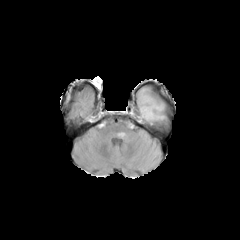
FLAIR magnetic resonance.
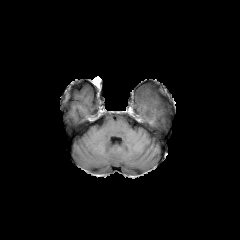
T1-weighted MR.
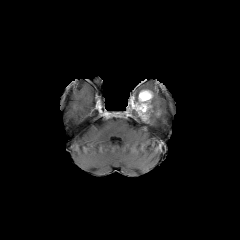
Post-contrast T1-weighted magnetic resonance.
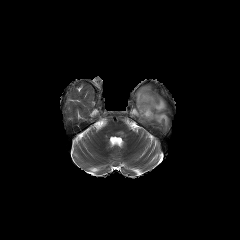
T2-weighted magnetic resonance.
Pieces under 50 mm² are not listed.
The largest peritumoral edema region appears at x1=145 y1=96 x2=168 y2=124. The largest enhancing tumor region appears at x1=132 y1=89 x2=153 y2=121.